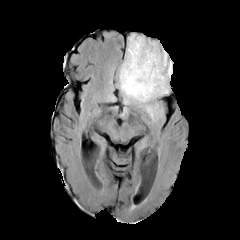
FLAIR MR image.
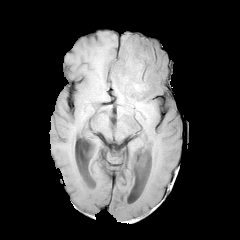
Same slice, T1-weighted MR image.
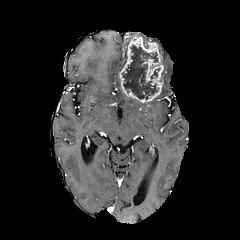
Same slice, post-contrast T1-weighted MRI.
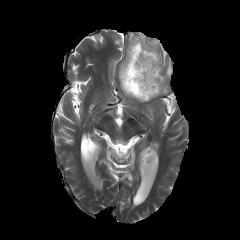
Same slice, T2-weighted MRI.
Image size 240x240, Axial slice
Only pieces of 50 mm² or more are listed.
peritumoral edema — rect(118, 72, 157, 119); rect(160, 50, 172, 94)
necrotic tumor core — rect(122, 45, 157, 99)
enhancing tumor — rect(119, 34, 163, 102)